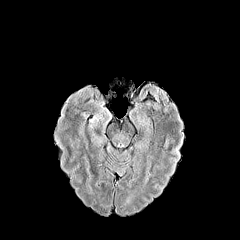
FLAIR MRI.
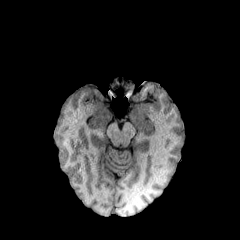
Same slice, T1-weighted MRI.
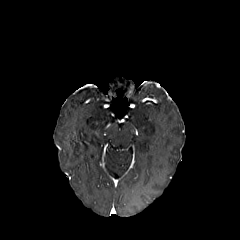
Post-contrast T1-weighted MR.
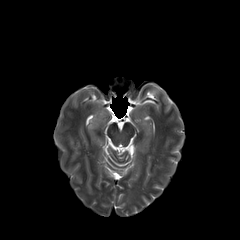
T2-weighted magnetic resonance.
Axial view. Brain.
The peritumoral edema lies within box(88, 116, 108, 147).